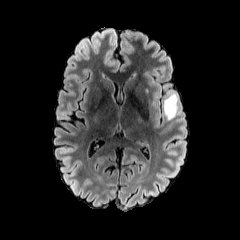
FLAIR MRI.
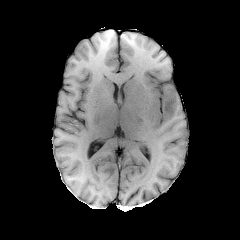
T1-weighted MRI.
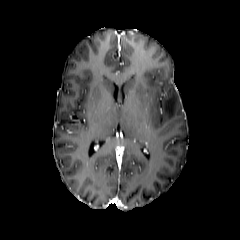
Same slice, post-contrast T1-weighted MR image.
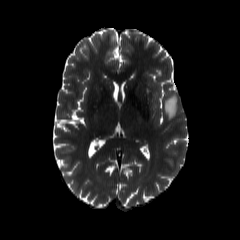
T2-weighted MRI.
240x240, Brain
peritumoral edema: rect(163, 92, 178, 120)